Axial slice | Brain
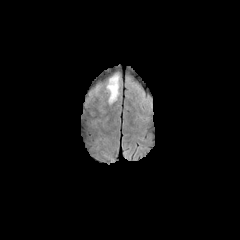
FLAIR MRI.
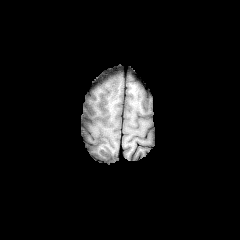
T1-weighted MR image.
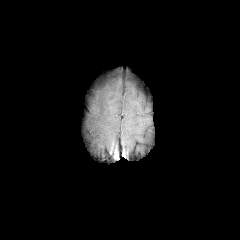
Post-contrast T1-weighted MRI.
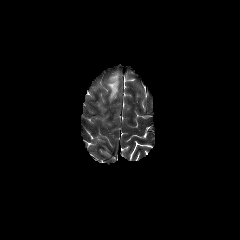
T2-weighted magnetic resonance of the same slice.
The peritumoral edema is located at 107 74 119 104.